240x240 | Brain
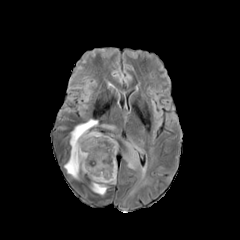
FLAIR MRI.
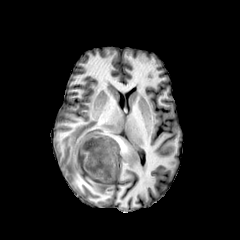
T1-weighted MR image.
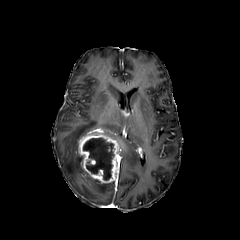
Same slice, post-contrast T1-weighted MR.
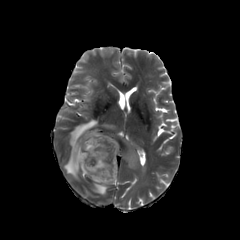
Same slice, T2-weighted magnetic resonance.
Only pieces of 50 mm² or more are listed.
enhancing tumor: l=78, t=132, r=120, b=183
necrotic tumor core: l=83, t=138, r=114, b=179
peritumoral edema: l=139, t=165, r=146, b=176; l=64, t=119, r=98, b=179; l=92, t=179, r=107, b=195; l=102, t=124, r=115, b=130; l=124, t=142, r=139, b=169